Brain. 240x240 px. Slice 67 of 155.
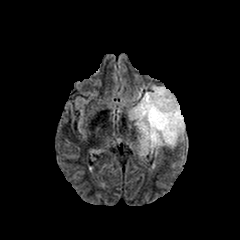
FLAIR MRI.
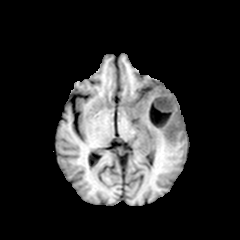
Same slice, T1-weighted MR.
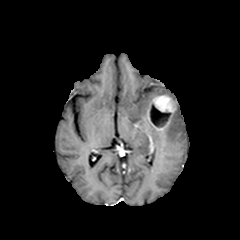
Post-contrast T1-weighted magnetic resonance.
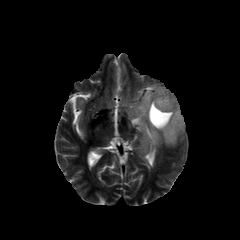
T2-weighted MR image of the same slice.
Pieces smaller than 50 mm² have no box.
peritumoral_edema:
  - 128,85,184,157
necrotic_tumor_core:
  - 150,104,171,127
enhancing_tumor:
  - 147,95,176,133